Brain, Axial slice
FLAIR MR image.
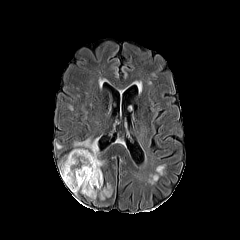
T1-weighted magnetic resonance.
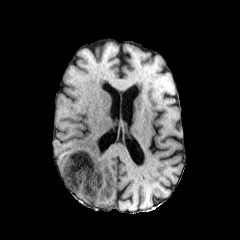
Post-contrast T1-weighted magnetic resonance.
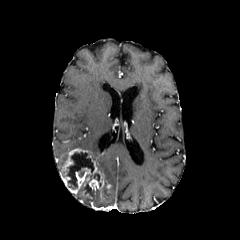
T2-weighted magnetic resonance.
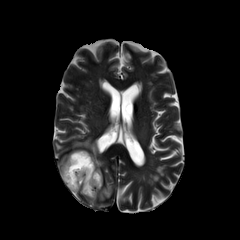
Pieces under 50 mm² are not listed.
necrotic tumor core at [x1=66, y1=152, x2=94, y2=189], [x1=82, y1=183, x2=92, y2=195]
peritumoral edema at [x1=73, y1=138, x2=103, y2=170], [x1=99, y1=188, x2=112, y2=199]
enhancing tumor at [x1=60, y1=148, x2=104, y2=197]